FLAIR MR.
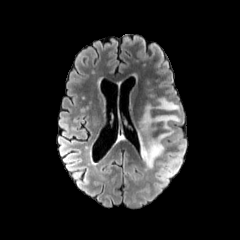
T1-weighted MRI.
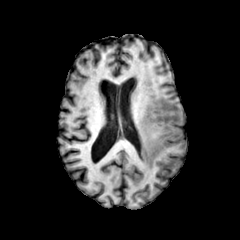
Post-contrast T1-weighted MR.
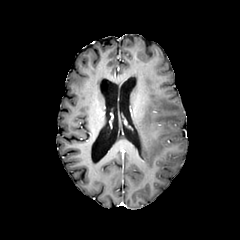
T2-weighted MRI.
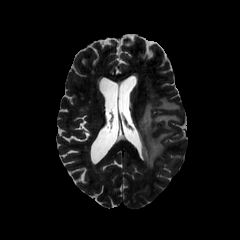
Axial view
The peritumoral edema appears at region(138, 98, 180, 168).